FLAIR magnetic resonance.
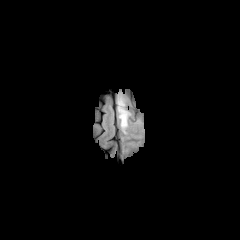
T1-weighted magnetic resonance.
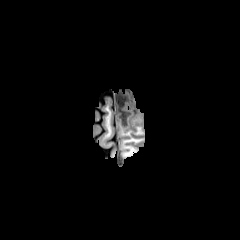
Post-contrast T1-weighted MRI.
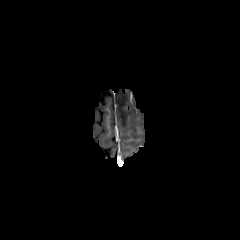
T2-weighted magnetic resonance.
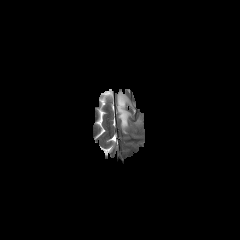
Axial plane.
peritumoral edema: x1=115 y1=94 x2=132 y2=135